Axial slice, Brain
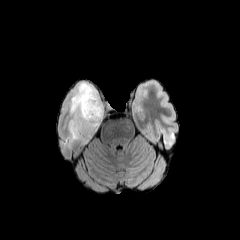
FLAIR MRI.
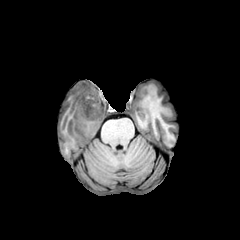
T1-weighted MR image.
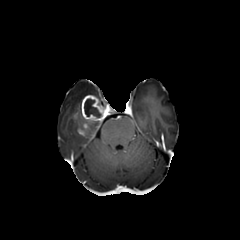
Same slice, post-contrast T1-weighted MR.
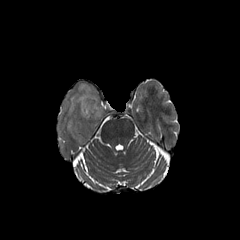
Same slice, T2-weighted MR.
enhancing_tumor:
  - 81 95 104 121
  - 77 123 87 135
necrotic_tumor_core:
  - 84 98 101 117
peritumoral_edema:
  - 68 82 100 142